FLAIR MRI.
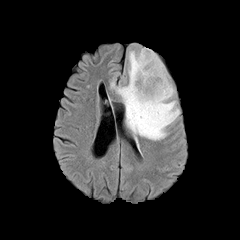
T1-weighted MR image.
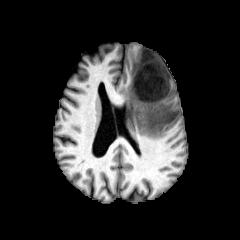
Post-contrast T1-weighted magnetic resonance.
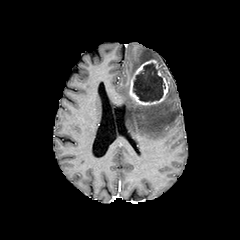
T2-weighted magnetic resonance.
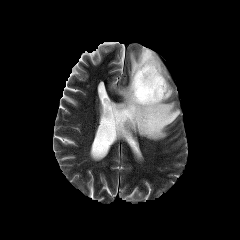
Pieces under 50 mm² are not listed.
Findings:
* enhancing tumor: (left=129, top=59, right=169, bottom=105)
* peritumoral edema: (left=111, top=47, right=180, bottom=140)
* necrotic tumor core: (left=133, top=63, right=165, bottom=101)